FLAIR MR.
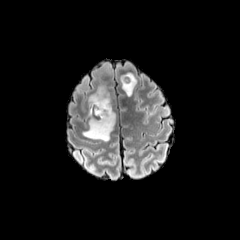
T1-weighted MR image.
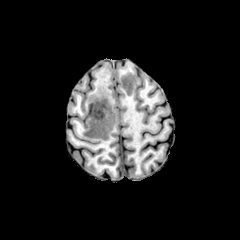
Post-contrast T1-weighted MRI.
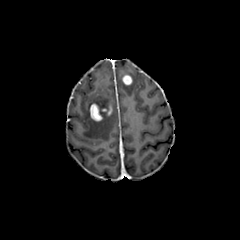
T2-weighted MR image.
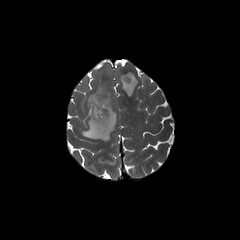
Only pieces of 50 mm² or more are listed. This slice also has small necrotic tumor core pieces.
peritumoral edema: <box>82,69,116,141</box>, <box>120,72,137,96</box>
enhancing tumor: <box>122,75,132,85</box>, <box>90,103,112,121</box>